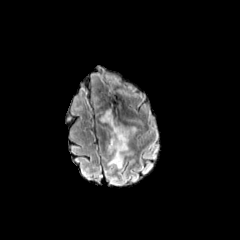
FLAIR MR image.
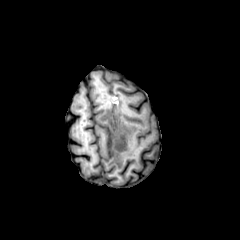
T1-weighted MRI.
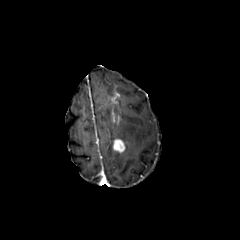
Post-contrast T1-weighted magnetic resonance of the same slice.
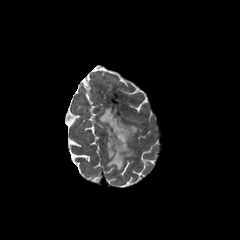
T2-weighted MR of the same slice.
Image size 240x240 | Brain | Axial view
<segmentation>
  <peritumoral_edema>[100, 108, 137, 169]</peritumoral_edema>
  <enhancing_tumor>[112, 138, 126, 152]</enhancing_tumor>
</segmentation>